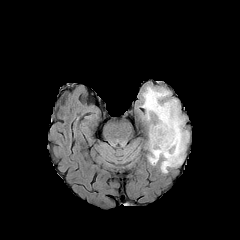
FLAIR MR image.
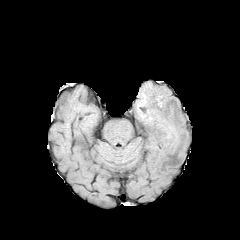
Same slice, T1-weighted MRI.
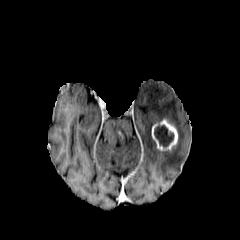
Post-contrast T1-weighted MR.
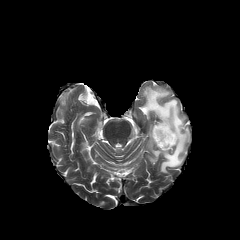
T2-weighted MRI.
peritumoral edema at (x1=141, y1=85, x2=189, y2=173)
enhancing tumor at (x1=151, y1=119, x2=178, y2=150)
necrotic tumor core at (x1=154, y1=125, x2=173, y2=147)